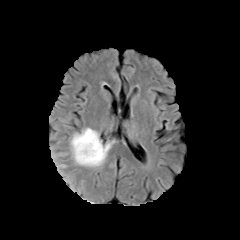
FLAIR MR image.
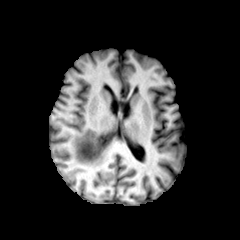
T1-weighted MR.
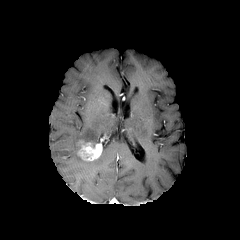
Post-contrast T1-weighted MRI of the same slice.
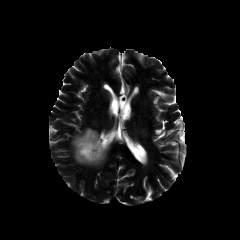
Same slice, T2-weighted MRI.
240x240 px | Head
enhancing tumor: (77,140,103,162) | peritumoral edema: (70,128,112,166)